Slice 29 of 155. Brain.
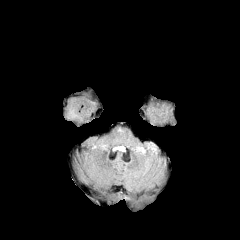
FLAIR magnetic resonance.
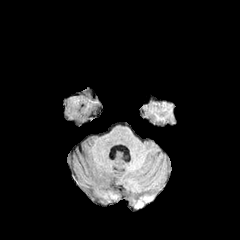
Same slice, T1-weighted MR.
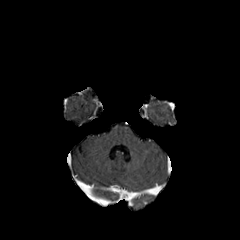
Same slice, post-contrast T1-weighted MRI.
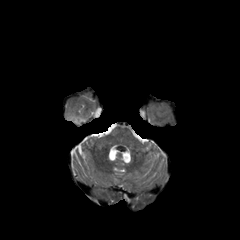
T2-weighted MR.
- peritumoral edema: (64,108,77,118)